Axial plane; Brain
FLAIR MRI.
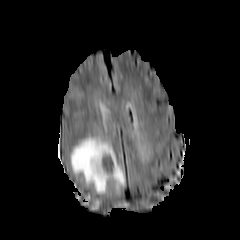
T1-weighted MR.
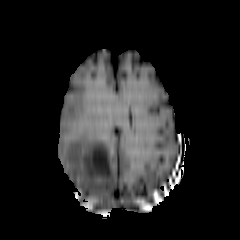
Post-contrast T1-weighted magnetic resonance.
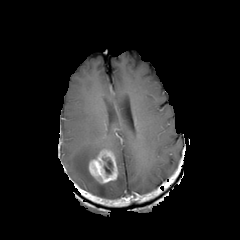
T2-weighted MR image.
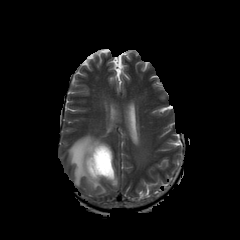
<segmentation>
  <necrotic_tumor_core>l=101, t=158, r=113, b=174</necrotic_tumor_core>
  <enhancing_tumor>l=88, t=148, r=118, b=183</enhancing_tumor>
  <peritumoral_edema>l=70, t=135, r=125, b=194</peritumoral_edema>
</segmentation>